FLAIR MRI.
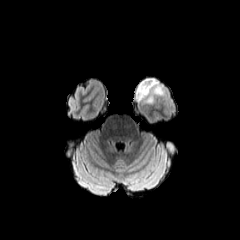
T1-weighted MRI.
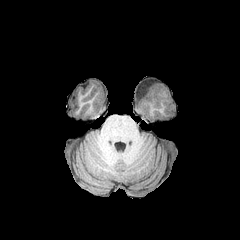
Post-contrast T1-weighted magnetic resonance.
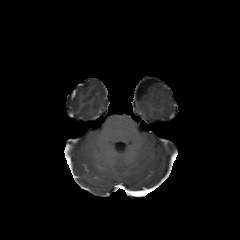
T2-weighted MR image.
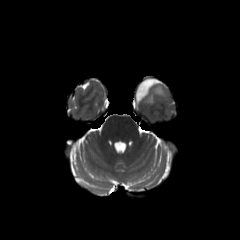
<segmentation>
  <peritumoral_edema>(left=135, top=78, right=163, bottom=103)</peritumoral_edema>
</segmentation>